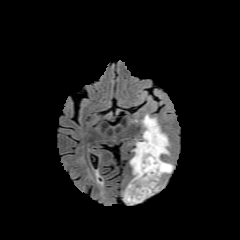
FLAIR MRI.
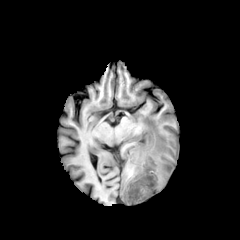
T1-weighted MR.
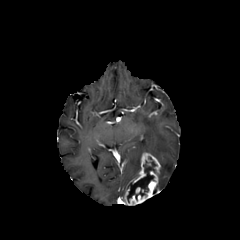
Same slice, post-contrast T1-weighted MR image.
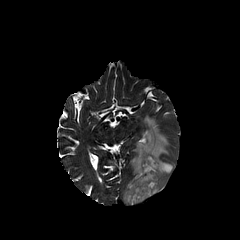
Same slice, T2-weighted MRI.
Axial view
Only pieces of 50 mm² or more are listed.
necrotic_tumor_core:
  - [127, 160, 156, 202]
enhancing_tumor:
  - [123, 152, 160, 205]
peritumoral_edema:
  - [130, 115, 173, 190]